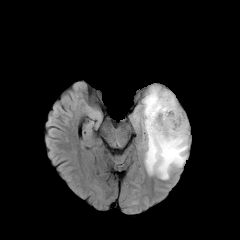
FLAIR MR image.
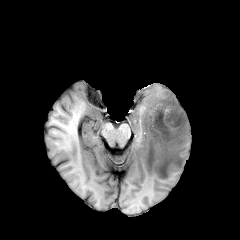
T1-weighted MRI.
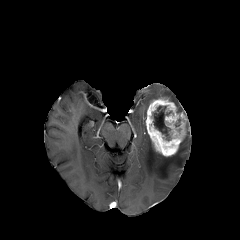
Same slice, post-contrast T1-weighted MRI.
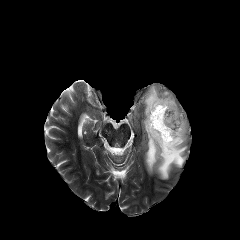
T2-weighted MR.
Head. Axial plane.
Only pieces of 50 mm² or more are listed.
<segmentation>
  <necrotic_tumor_core>(153,106,169,140)</necrotic_tumor_core>
  <peritumoral_edema>(142,86,188,179)</peritumoral_edema>
  <enhancing_tumor>(145,97,187,156)</enhancing_tumor>
</segmentation>